FLAIR MR image.
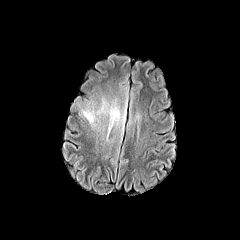
T1-weighted MRI.
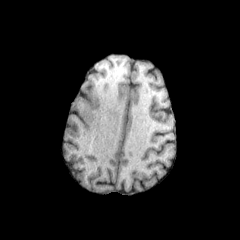
Post-contrast T1-weighted MRI.
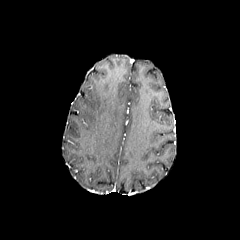
T2-weighted MR.
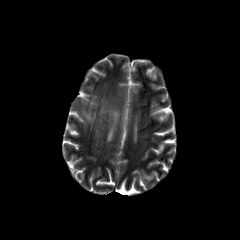
240x240 | Brain | Axial slice
* peritumoral edema: <box>81,100,125,129</box>